FLAIR magnetic resonance.
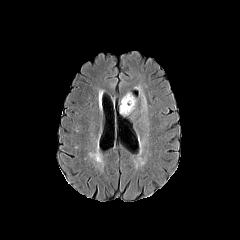
T1-weighted magnetic resonance.
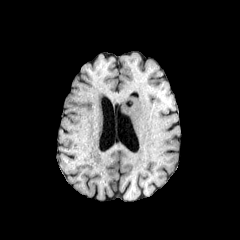
Post-contrast T1-weighted MR image.
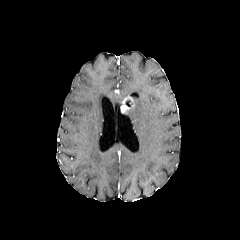
T2-weighted MRI.
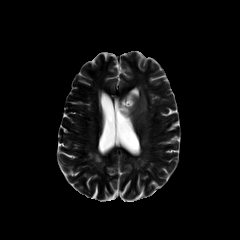
Brain
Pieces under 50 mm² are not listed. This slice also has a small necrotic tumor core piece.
The enhancing tumor is at (left=120, top=96, right=134, bottom=113). The 3 largest peritumoral edema regions are bounded by (left=142, top=94, right=146, bottom=110), (left=119, top=106, right=135, bottom=117), (left=120, top=93, right=136, bottom=106).